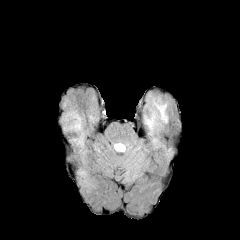
FLAIR MR image.
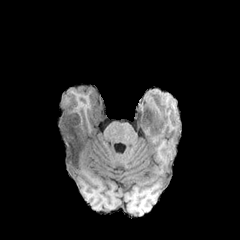
T1-weighted MRI.
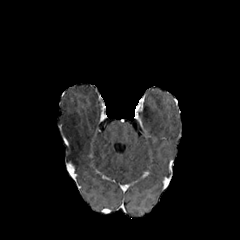
Same slice, post-contrast T1-weighted MR image.
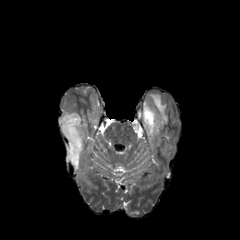
Same slice, T2-weighted MR image.
Image size 240x240 | Brain
<segmentation>
  <peritumoral_edema>[x1=60, y1=98, x2=89, y2=184], [x1=143, y1=97, x2=168, y2=131], [x1=89, y1=113, x2=98, y2=126]</peritumoral_edema>
</segmentation>